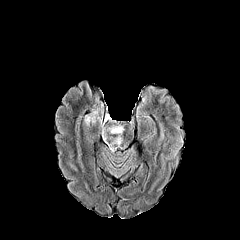
FLAIR MR.
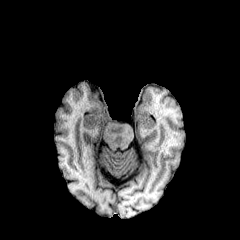
T1-weighted magnetic resonance of the same slice.
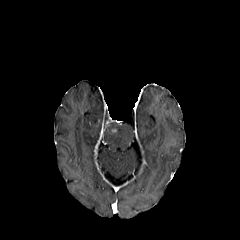
Post-contrast T1-weighted MR image of the same slice.
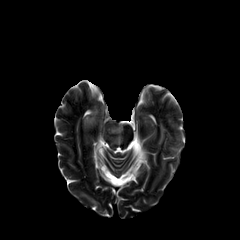
T2-weighted MR image.
Axial view | 240x240
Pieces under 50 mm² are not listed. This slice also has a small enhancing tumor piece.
The 2 largest peritumoral edema regions are bounded by x1=84, y1=105, x2=107, y2=126; x1=103, y1=125, x2=123, y2=145.